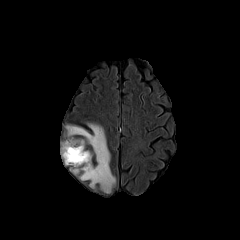
FLAIR MRI.
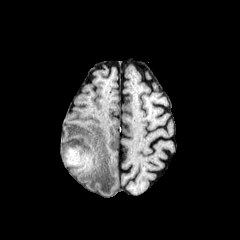
T1-weighted magnetic resonance.
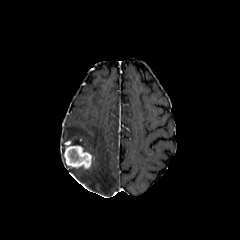
Post-contrast T1-weighted magnetic resonance of the same slice.
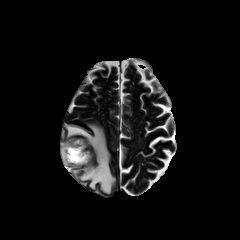
T2-weighted magnetic resonance.
Image size 240x240, Brain
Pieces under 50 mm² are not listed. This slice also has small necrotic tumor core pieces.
2 peritumoral edema regions are bounded by 65,123,116,193; 61,142,65,164. The enhancing tumor lies within 63,140,92,169.